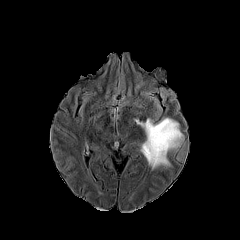
FLAIR MR image.
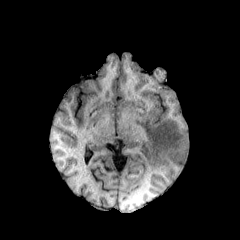
Same slice, T1-weighted MR.
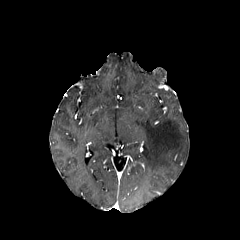
Same slice, post-contrast T1-weighted MR.
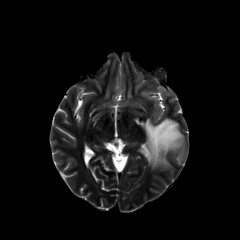
T2-weighted MR.
Axial plane. Head.
The peritumoral edema is located at l=135, t=118, r=184, b=169.